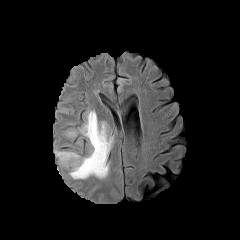
FLAIR MR image.
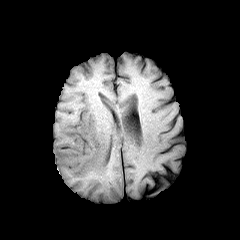
T1-weighted magnetic resonance.
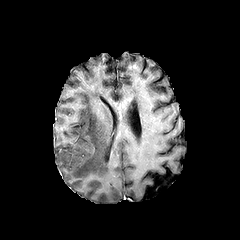
Post-contrast T1-weighted MR of the same slice.
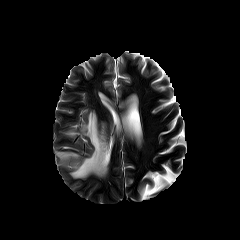
T2-weighted magnetic resonance of the same slice.
Axial plane
{"peritumoral_edema": ["(66,130,76,137)", "(55,110,113,178)"]}